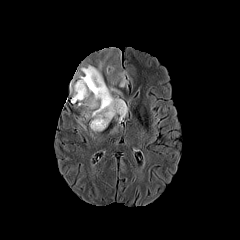
FLAIR MRI.
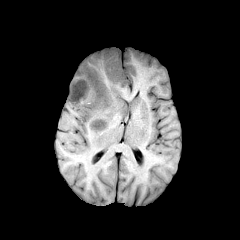
T1-weighted MR image.
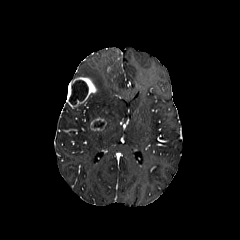
Same slice, post-contrast T1-weighted MR image.
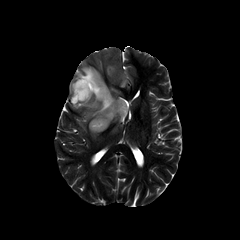
T2-weighted MRI.
Head. 240x240. Axial plane.
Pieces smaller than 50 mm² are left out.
The largest peritumoral edema region is located at (73,47,127,132). 2 enhancing tumor regions are bounded by (90,117,106,131), (67,76,97,107). 2 necrotic tumor core regions are bounded by (69,80,88,104), (93,121,104,127).